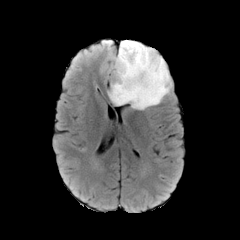
FLAIR MR image.
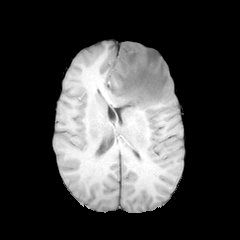
T1-weighted magnetic resonance of the same slice.
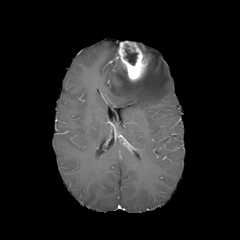
Post-contrast T1-weighted MR image of the same slice.
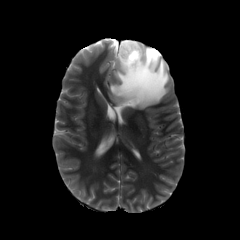
T2-weighted magnetic resonance.
Image size 240x240 | Axial slice
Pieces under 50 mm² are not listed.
Segmented structures:
- peritumoral edema: bbox(108, 43, 171, 109)
- necrotic tumor core: bbox(125, 45, 137, 65)
- enhancing tumor: bbox(115, 41, 149, 81)